Head | Image covers 240 mm x 240 mm
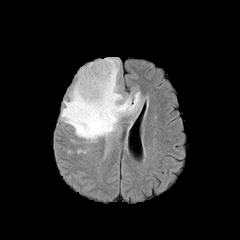
FLAIR MR.
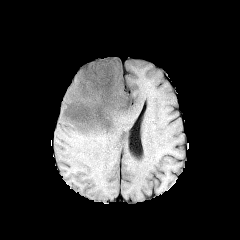
T1-weighted MR.
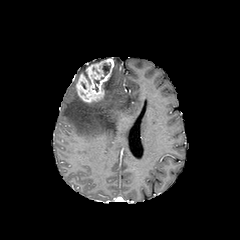
Same slice, post-contrast T1-weighted MR.
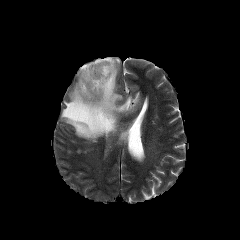
T2-weighted MRI.
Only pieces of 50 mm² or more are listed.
<segmentation>
  <necrotic_tumor_core>left=102, top=63, right=110, bottom=75</necrotic_tumor_core>
  <peritumoral_edema>left=61, top=57, right=141, bottom=141</peritumoral_edema>
  <enhancing_tumor>left=76, top=58, right=114, bottom=103</enhancing_tumor>
</segmentation>